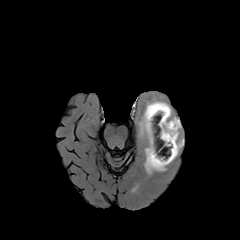
FLAIR MR image.
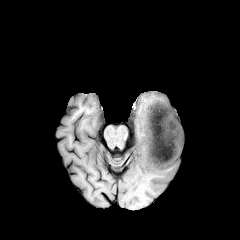
T1-weighted MR image.
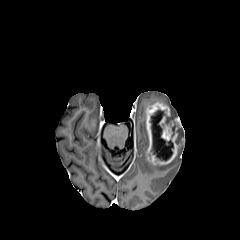
Post-contrast T1-weighted magnetic resonance.
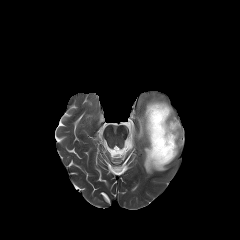
Same slice, T2-weighted MR image.
Brain, 240x240 px, Axial slice
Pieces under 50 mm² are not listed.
peritumoral edema: x1=138 y1=97 x2=175 y2=174, x1=177 y1=128 x2=184 y2=153 | necrotic tumor core: x1=151 y1=110 x2=173 y2=160 | enhancing tumor: x1=145 y1=101 x2=181 y2=165